FLAIR magnetic resonance.
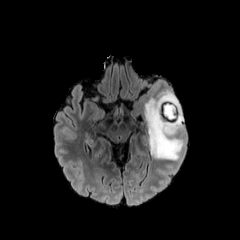
T1-weighted magnetic resonance.
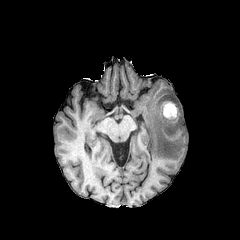
Post-contrast T1-weighted MRI.
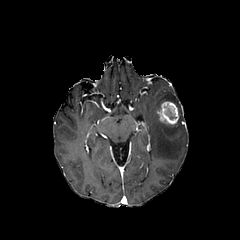
T2-weighted MR image.
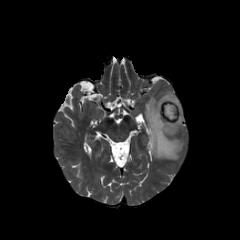
240x240 px | Brain
<segmentation>
  <peritumoral_edema>x1=144 y1=89 x2=183 y2=159</peritumoral_edema>
  <necrotic_tumor_core>x1=165 y1=109 x2=176 y2=119</necrotic_tumor_core>
  <enhancing_tumor>x1=156 y1=101 x2=179 y2=125</enhancing_tumor>
</segmentation>